FLAIR MR.
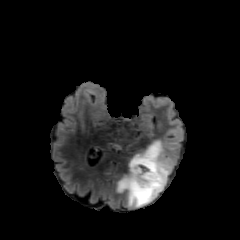
T1-weighted MR image.
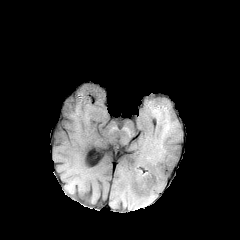
Post-contrast T1-weighted MR image.
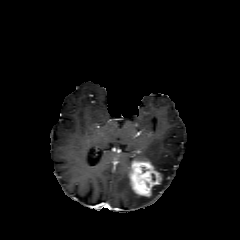
T2-weighted magnetic resonance.
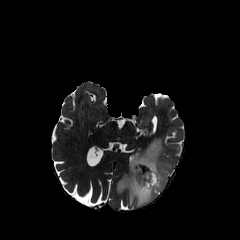
240x240 px | Brain | Axial view
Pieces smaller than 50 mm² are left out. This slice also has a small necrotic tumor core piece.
peritumoral edema: 116,140,173,207 | enhancing tumor: 129,159,162,196